FLAIR MR image.
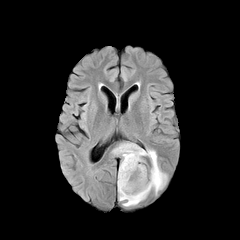
T1-weighted MRI.
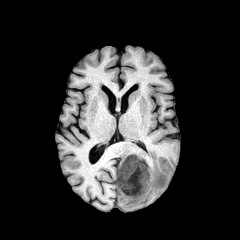
Post-contrast T1-weighted magnetic resonance.
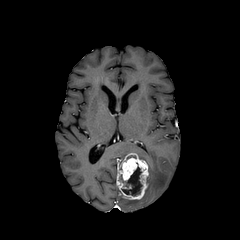
T2-weighted MR.
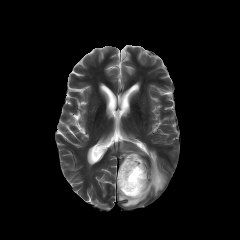
240x240 | Axial view
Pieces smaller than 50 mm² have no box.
The peritumoral edema appears at (114, 143, 167, 206). The enhancing tumor appears at (117, 153, 148, 199). The largest necrotic tumor core region is located at (122, 167, 142, 195).